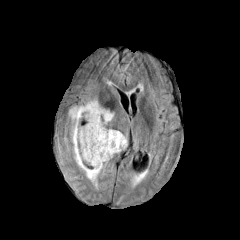
FLAIR MR.
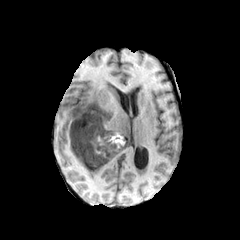
Same slice, T1-weighted MR image.
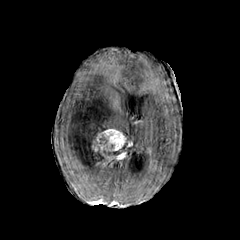
Post-contrast T1-weighted MRI of the same slice.
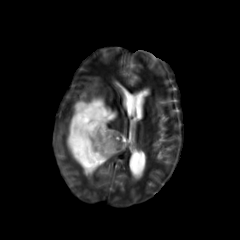
T2-weighted MR.
Image size 240x240. Head.
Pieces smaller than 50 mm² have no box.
peritumoral_edema:
  - x1=66, y1=97, x2=114, y2=180
enhancing_tumor:
  - x1=91, y1=129, x2=126, y2=164
necrotic_tumor_core:
  - x1=94, y1=148, x2=104, y2=163
  - x1=87, y1=133, x2=96, y2=149